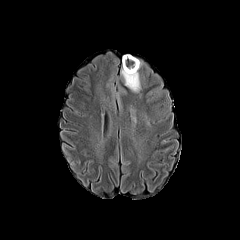
FLAIR MR.
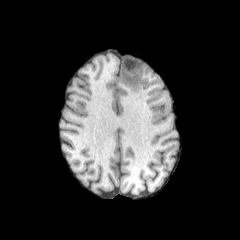
T1-weighted MR.
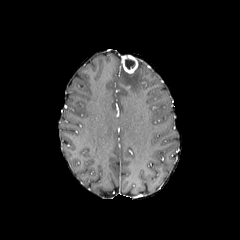
Post-contrast T1-weighted MR.
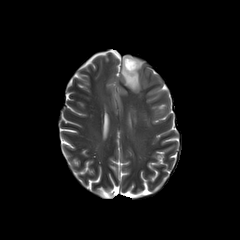
T2-weighted MR image.
Brain, Axial view
The necrotic tumor core appears at left=125, top=58, right=135, bottom=69. The peritumoral edema is at left=121, top=60, right=141, bottom=92. The enhancing tumor is bounded by left=122, top=55, right=138, bottom=73.